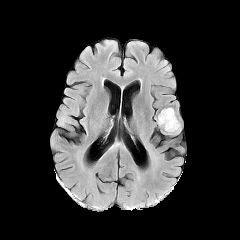
FLAIR MR.
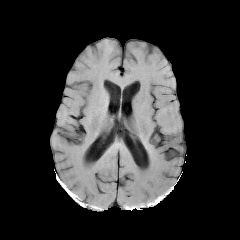
Same slice, T1-weighted MR image.
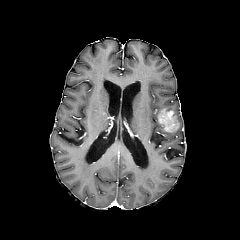
Post-contrast T1-weighted MR.
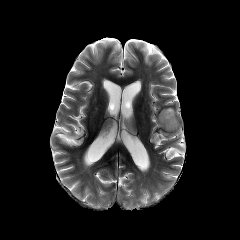
Same slice, T2-weighted MRI.
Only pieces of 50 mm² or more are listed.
The enhancing tumor lies within [158,109,179,132]. The largest peritumoral edema region is bounded by [163,107,181,134].